Head
FLAIR MRI.
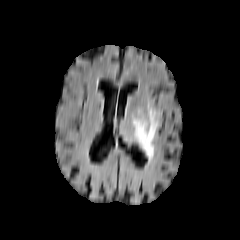
T1-weighted magnetic resonance.
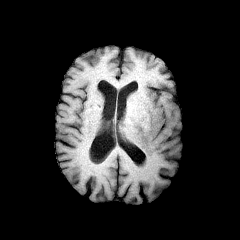
Post-contrast T1-weighted MR image.
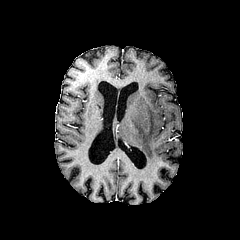
T2-weighted magnetic resonance.
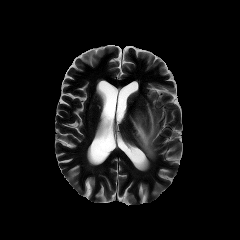
peritumoral edema — {"x1": 132, "y1": 104, "x2": 160, "y2": 159}